Brain; Axial slice; 240x240 px
FLAIR MR.
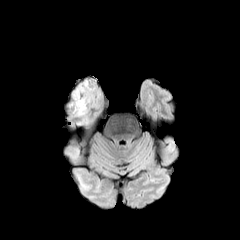
T1-weighted MRI.
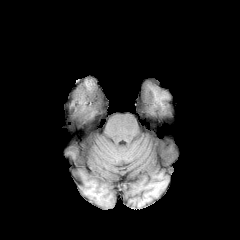
Post-contrast T1-weighted magnetic resonance.
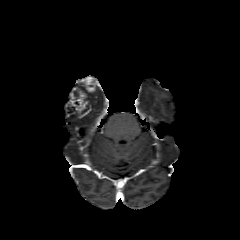
T2-weighted MRI.
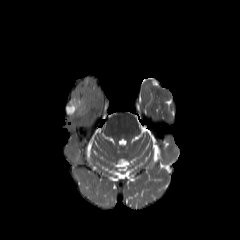
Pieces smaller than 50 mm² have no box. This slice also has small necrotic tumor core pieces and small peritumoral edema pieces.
The enhancing tumor is at left=66, top=79, right=95, bottom=116.